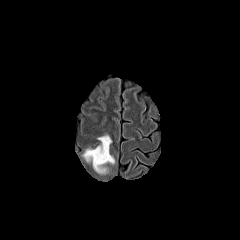
FLAIR MRI.
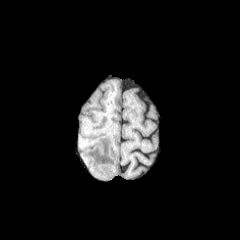
Same slice, T1-weighted MRI.
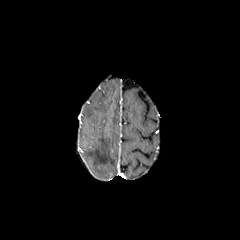
Post-contrast T1-weighted magnetic resonance.
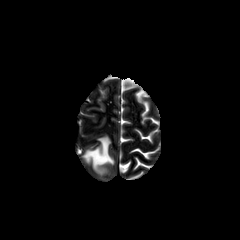
T2-weighted MR.
Image size 240x240. Axial slice.
peritumoral edema at 83 135 114 173